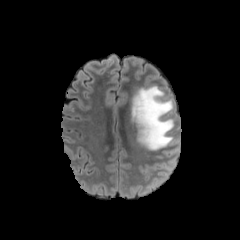
FLAIR magnetic resonance.
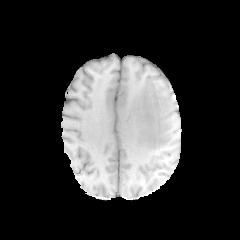
T1-weighted magnetic resonance.
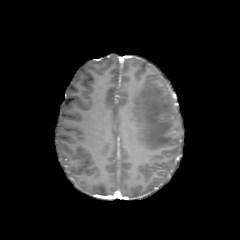
Post-contrast T1-weighted magnetic resonance.
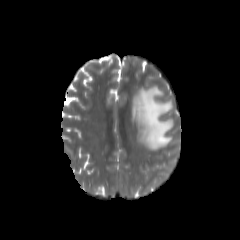
Same slice, T2-weighted magnetic resonance.
peritumoral edema — x1=131 y1=85 x2=173 y2=150